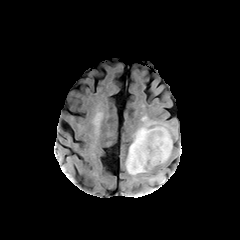
FLAIR MR.
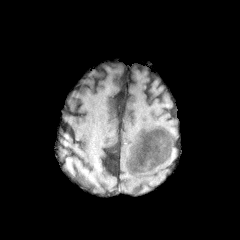
T1-weighted MR image.
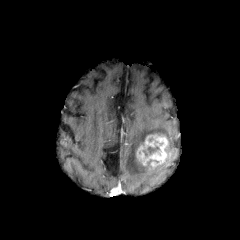
Post-contrast T1-weighted MR image of the same slice.
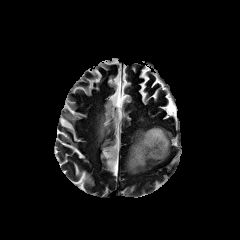
T2-weighted MRI.
Image size 240x240. Brain. Axial plane.
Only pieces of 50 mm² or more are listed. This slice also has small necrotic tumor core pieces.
Segmented structures:
• peritumoral edema: rect(125, 123, 172, 174)
• enhancing tumor: rect(136, 133, 170, 167)